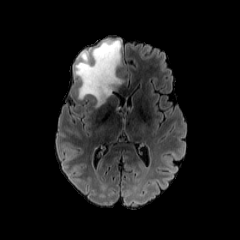
FLAIR MRI.
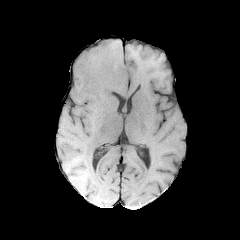
T1-weighted MR image.
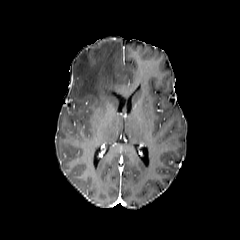
Post-contrast T1-weighted MR of the same slice.
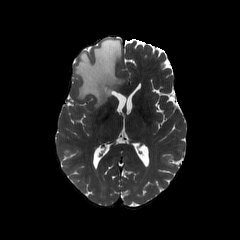
T2-weighted magnetic resonance of the same slice.
240x240 px.
peritumoral edema at [74,39,123,107]